FLAIR MRI.
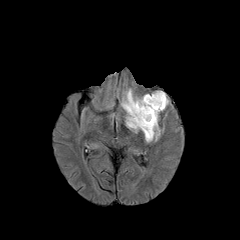
T1-weighted MR.
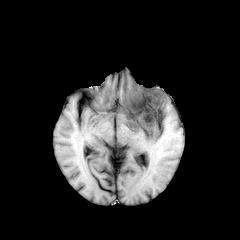
Post-contrast T1-weighted MR.
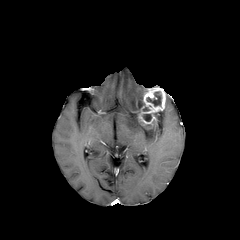
T2-weighted MR image.
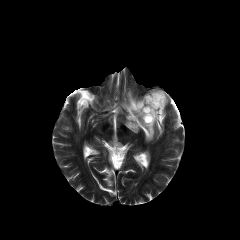
Image size 240x240, Head
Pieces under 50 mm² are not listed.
{"peritumoral_edema": ["bbox=[121, 88, 158, 142]"], "enhancing_tumor": ["bbox=[131, 88, 165, 128]"], "necrotic_tumor_core": ["bbox=[147, 92, 161, 106]", "bbox=[143, 114, 151, 121]"]}